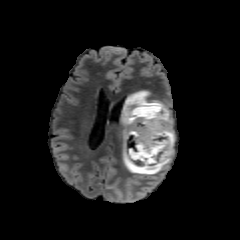
FLAIR MR image.
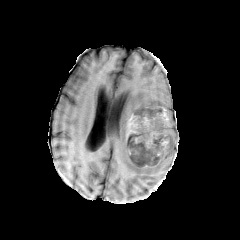
T1-weighted MR of the same slice.
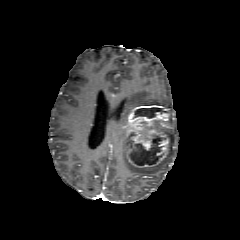
Post-contrast T1-weighted MR.
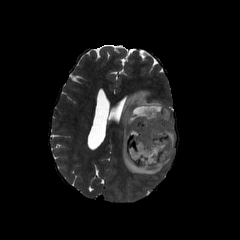
T2-weighted magnetic resonance.
Head, 240x240 px
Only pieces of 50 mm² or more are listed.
{"enhancing_tumor": ["(125,104,171,168)"], "necrotic_tumor_core": ["(134,107,166,118)", "(130,137,165,165)"], "peritumoral_edema": ["(121,90,175,176)"]}